240x240. Image width 240 mm. Slice 37/155. Brain.
FLAIR MRI.
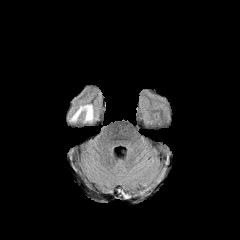
T1-weighted MRI.
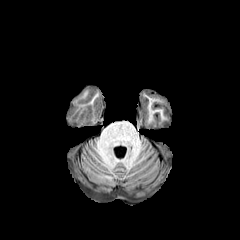
Post-contrast T1-weighted MR.
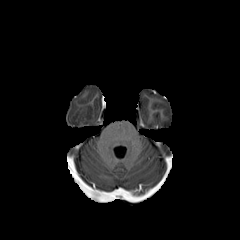
T2-weighted MRI.
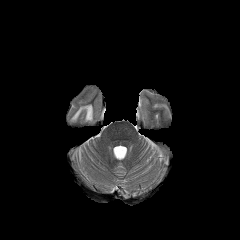
The peritumoral edema appears at x1=71, y1=104, x2=93, y2=121.